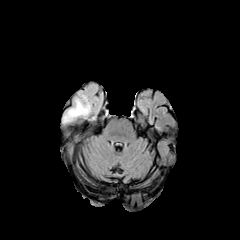
FLAIR MRI.
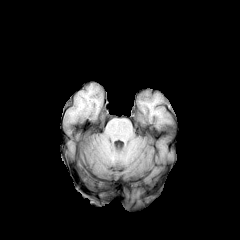
T1-weighted MR image.
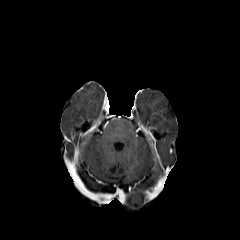
Post-contrast T1-weighted MR image.
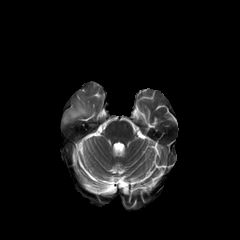
T2-weighted MR of the same slice.
240x240; Axial slice
peritumoral edema at (61,82,103,126)